240x240 px; Head; Axial slice; Image width 240 mm
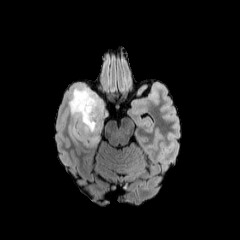
FLAIR MRI.
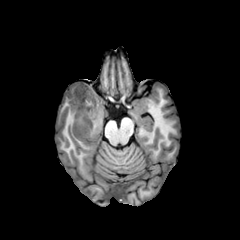
T1-weighted MRI.
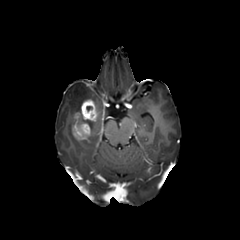
Post-contrast T1-weighted MR of the same slice.
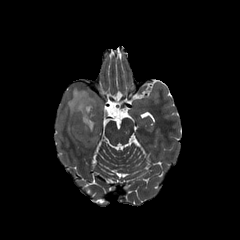
T2-weighted MR.
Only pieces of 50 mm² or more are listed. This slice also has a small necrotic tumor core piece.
enhancing_tumor:
  - 72, 99, 99, 140
peritumoral_edema:
  - 68, 85, 103, 146